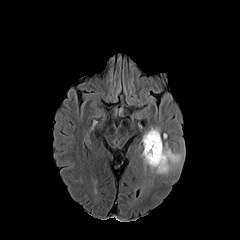
FLAIR MRI.
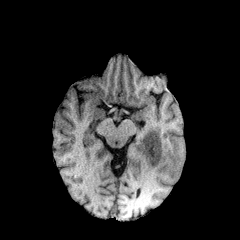
T1-weighted MRI.
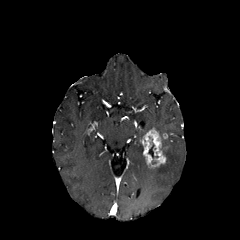
Post-contrast T1-weighted MR.
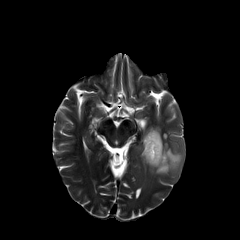
T2-weighted MR.
Axial view. Brain.
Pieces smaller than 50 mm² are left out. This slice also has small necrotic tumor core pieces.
enhancing tumor = (141,128,166,168)
peritumoral edema = (150,143,182,174)